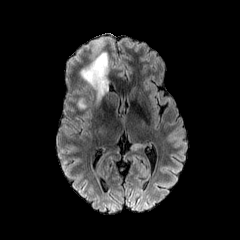
FLAIR MRI.
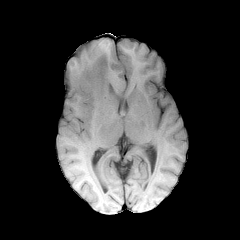
T1-weighted magnetic resonance of the same slice.
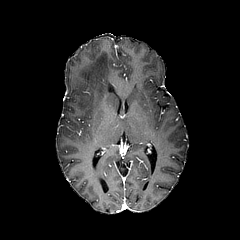
Post-contrast T1-weighted MRI.
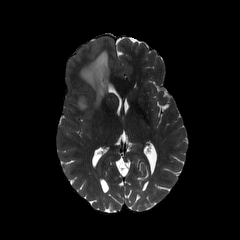
T2-weighted MR image.
Annotated regions:
- peritumoral edema: <bbox>80, 51, 109, 103</bbox>, <bbox>78, 97, 87, 109</bbox>